Brain; Slice 91 of 155
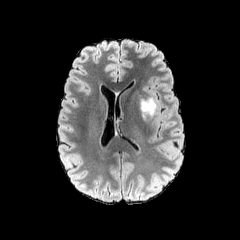
FLAIR MRI.
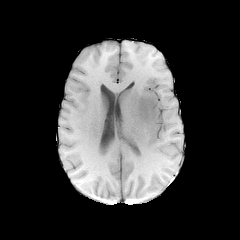
Same slice, T1-weighted MR.
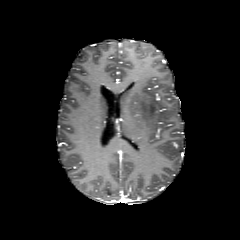
Post-contrast T1-weighted MR image of the same slice.
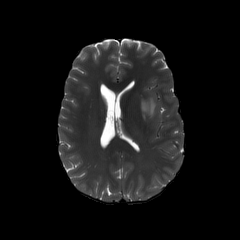
T2-weighted magnetic resonance.
peritumoral edema: bounding box rect(140, 97, 156, 118)